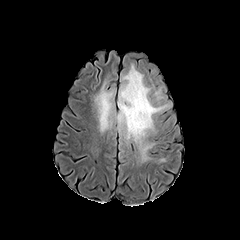
FLAIR MR image.
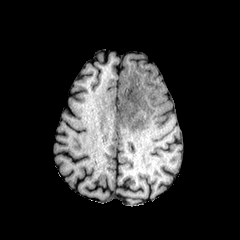
T1-weighted magnetic resonance of the same slice.
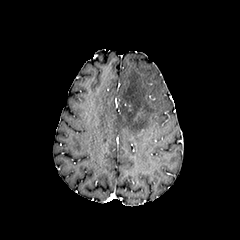
Post-contrast T1-weighted MR of the same slice.
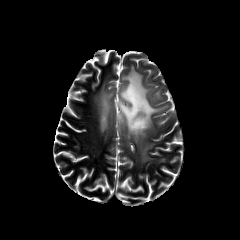
Same slice, T2-weighted MR image.
Brain
The necrotic tumor core appears at bbox=[124, 95, 133, 108]. 2 peritumoral edema regions appear at bbox=[154, 90, 162, 99]; bbox=[95, 64, 168, 153].